FLAIR MRI.
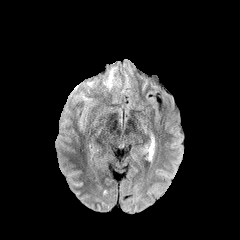
T1-weighted magnetic resonance.
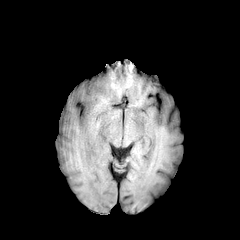
Post-contrast T1-weighted magnetic resonance.
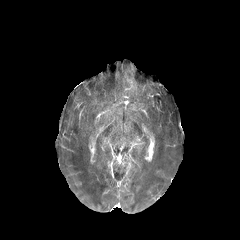
T2-weighted MRI.
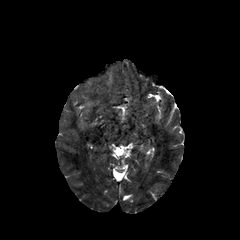
240x240 px, Head
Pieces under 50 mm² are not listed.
<segmentation>
  <peritumoral_edema>(left=106, top=75, right=112, bottom=87)</peritumoral_edema>
</segmentation>